Brain, Axial view, Image covers 240 mm x 240 mm
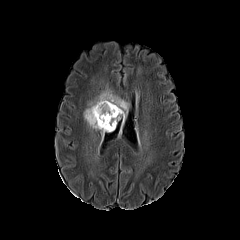
FLAIR MR image.
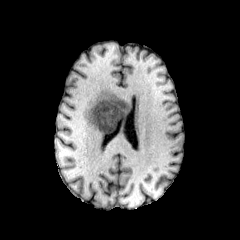
T1-weighted MRI.
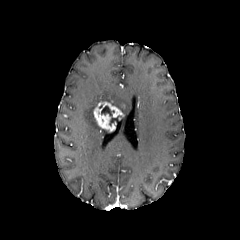
Post-contrast T1-weighted MR image.
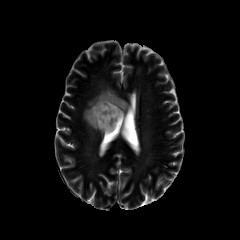
T2-weighted MRI.
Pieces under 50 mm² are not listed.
The peritumoral edema appears at {"x1": 84, "y1": 89, "x2": 128, "y2": 135}. The largest enhancing tumor region is at {"x1": 93, "y1": 101, "x2": 123, "y2": 131}. The largest necrotic tumor core region appears at {"x1": 101, "y1": 106, "x2": 120, "y2": 125}.